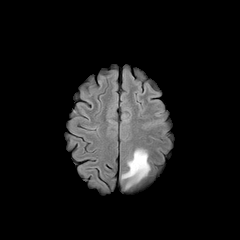
FLAIR MR image.
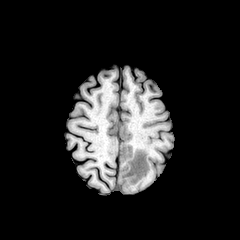
T1-weighted MR image of the same slice.
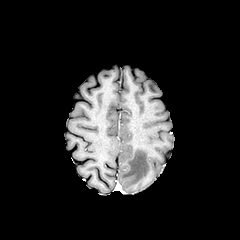
Same slice, post-contrast T1-weighted MR image.
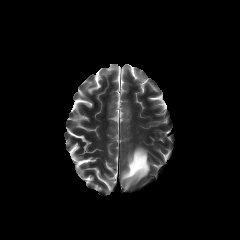
T2-weighted MRI of the same slice.
<segmentation>
  <peritumoral_edema>(x1=121, y1=148, x2=150, y2=188)</peritumoral_edema>
</segmentation>